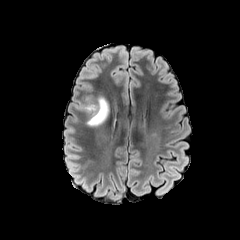
FLAIR MR.
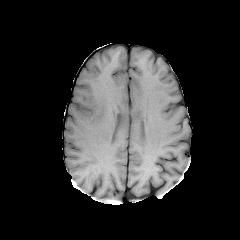
T1-weighted magnetic resonance of the same slice.
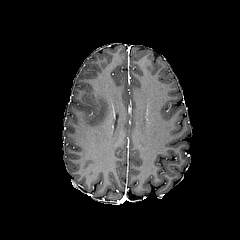
Post-contrast T1-weighted magnetic resonance of the same slice.
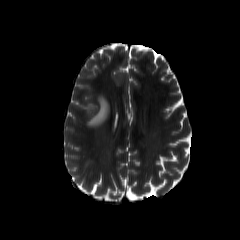
T2-weighted magnetic resonance of the same slice.
Axial plane. 240x240 px. Brain.
- peritumoral edema: 84 96 109 126